FLAIR magnetic resonance.
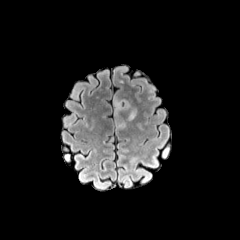
T1-weighted MRI.
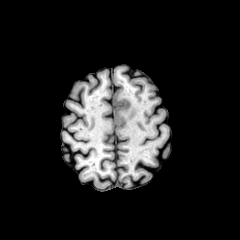
Post-contrast T1-weighted MR image.
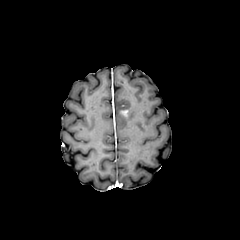
T2-weighted MR.
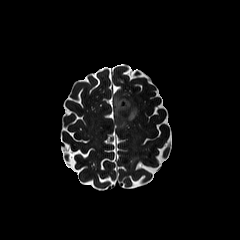
Head
enhancing tumor at bbox(119, 110, 128, 116)
peritumoral edema at bbox(113, 96, 136, 120)